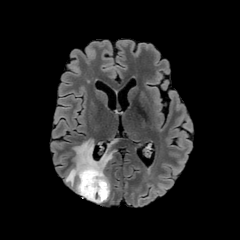
FLAIR MR image.
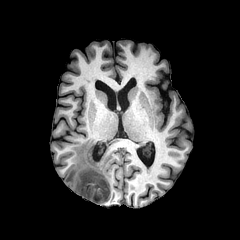
Same slice, T1-weighted MRI.
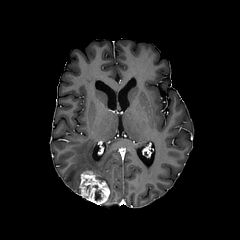
Post-contrast T1-weighted magnetic resonance.
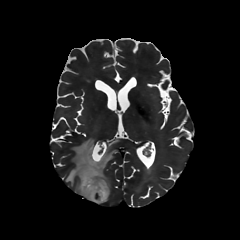
Same slice, T2-weighted magnetic resonance.
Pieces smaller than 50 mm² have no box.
The enhancing tumor is at l=78, t=170, r=109, b=204. The peritumoral edema is bounded by l=64, t=139, r=113, b=194. The largest necrotic tumor core region lies within l=95, t=190, r=101, b=200.